Brain, Axial plane, Slice 64 of 155
FLAIR MRI.
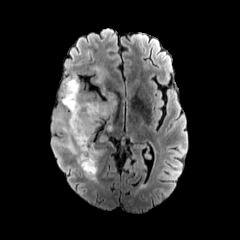
T1-weighted magnetic resonance.
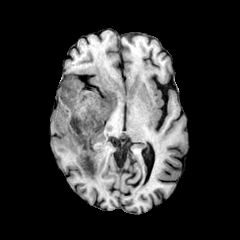
Post-contrast T1-weighted MR image.
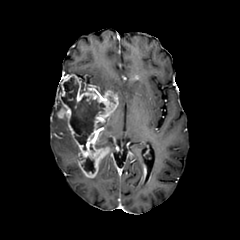
T2-weighted MR image.
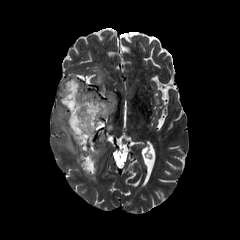
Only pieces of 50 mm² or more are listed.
enhancing tumor at bbox=[57, 74, 118, 178]; bbox=[143, 164, 147, 181]
peritumoral edema at bbox=[93, 66, 104, 84]; bbox=[53, 113, 79, 154]
necrotic tumor core at bbox=[81, 157, 95, 173]; bbox=[61, 77, 104, 150]